FLAIR MR.
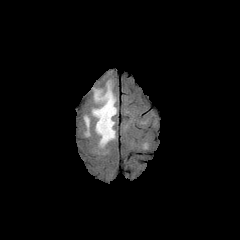
T1-weighted magnetic resonance.
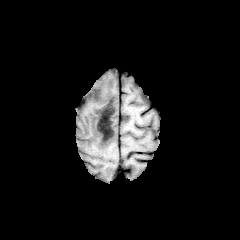
Post-contrast T1-weighted MRI.
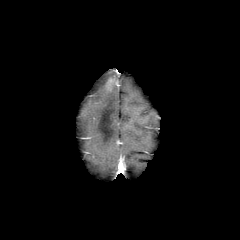
T2-weighted MRI.
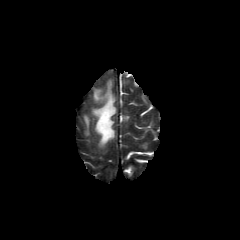
240x240. Axial slice. Brain.
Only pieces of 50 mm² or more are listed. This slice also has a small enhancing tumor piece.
peritumoral edema = x1=84 y1=116 x2=89 y2=135, x1=92 y1=83 x2=117 y2=147